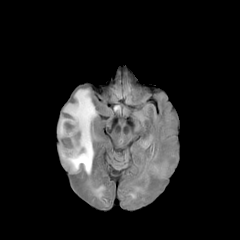
FLAIR MRI.
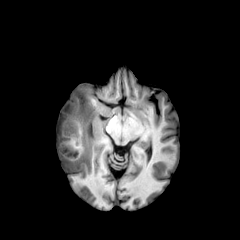
T1-weighted MR of the same slice.
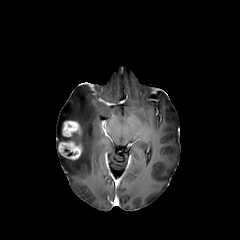
Post-contrast T1-weighted magnetic resonance.
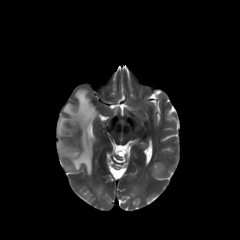
T2-weighted MR image.
Axial plane. 240x240 px. Brain.
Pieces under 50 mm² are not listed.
necrotic tumor core — 59:133:78:144
enhancing tumor — 58:140:82:159, 62:120:80:137
peritumoral edema — 57:89:97:174